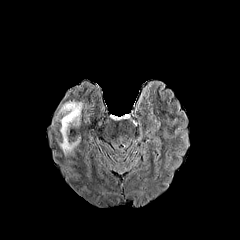
FLAIR magnetic resonance.
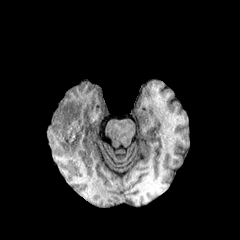
T1-weighted magnetic resonance.
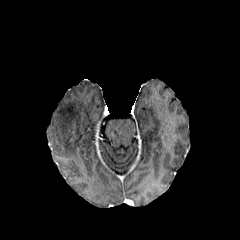
Same slice, post-contrast T1-weighted MR.
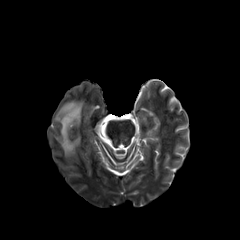
T2-weighted MRI of the same slice.
Axial view. Head.
<segmentation>
  <peritumoral_edema>l=56, t=101, r=83, b=154</peritumoral_edema>
</segmentation>